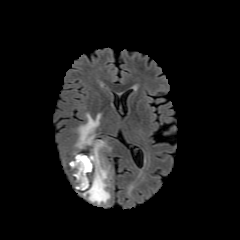
FLAIR MR image.
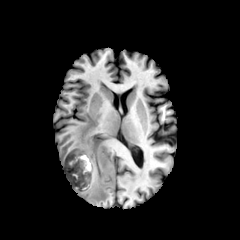
Same slice, T1-weighted MRI.
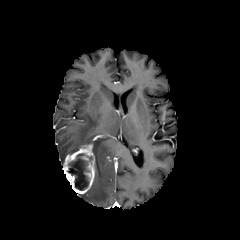
Same slice, post-contrast T1-weighted MR image.
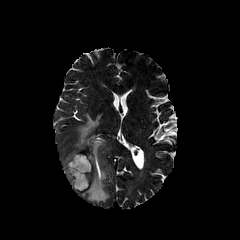
Same slice, T2-weighted MRI.
enhancing tumor: bounding box (63, 142, 94, 193)
necrotic tumor core: bounding box (67, 153, 92, 190)
peritumoral edema: bounding box (74, 113, 110, 204)